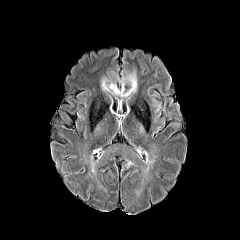
FLAIR MR.
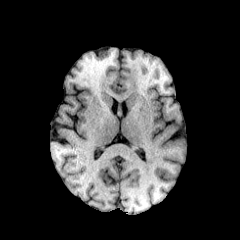
T1-weighted MRI of the same slice.
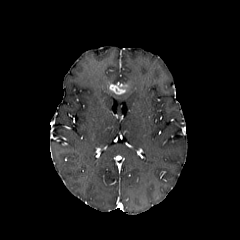
Same slice, post-contrast T1-weighted MRI.
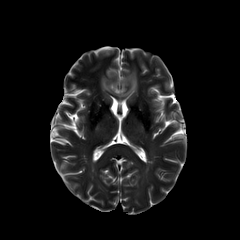
T2-weighted magnetic resonance.
240x240; Axial view; Brain
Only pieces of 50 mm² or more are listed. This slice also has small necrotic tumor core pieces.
peritumoral edema: x1=101, y1=77, x2=114, y2=93; x1=120, y1=70, x2=137, y2=97 | enhancing tumor: x1=108, y1=83, x2=127, y2=94